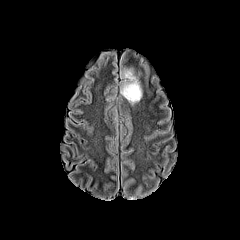
FLAIR MR.
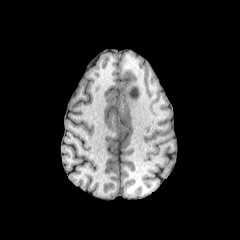
T1-weighted magnetic resonance of the same slice.
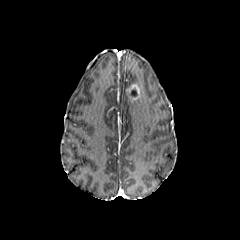
Post-contrast T1-weighted MR image of the same slice.
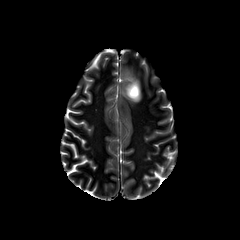
T2-weighted MR.
240x240; Axial plane; Brain
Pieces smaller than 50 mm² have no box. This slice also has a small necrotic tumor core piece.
<segmentation>
  <enhancing_tumor>126 83 140 101</enhancing_tumor>
  <peritumoral_edema>121 70 141 103</peritumoral_edema>
</segmentation>